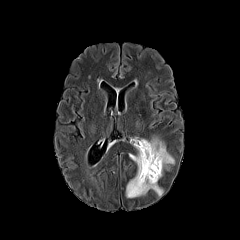
FLAIR MR image.
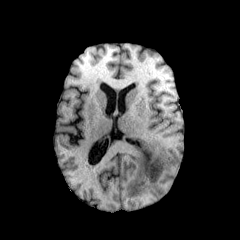
T1-weighted MRI.
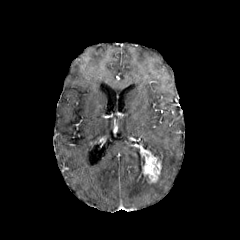
Post-contrast T1-weighted MRI.
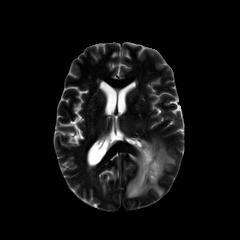
Same slice, T2-weighted MRI.
Brain, 240x240
2 peritumoral edema regions are located at box=[126, 148, 163, 197]; box=[138, 137, 174, 178]. The enhancing tumor is bounded by box=[127, 142, 161, 184].